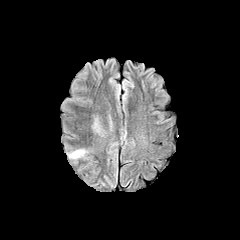
FLAIR MR image.
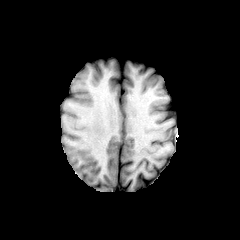
T1-weighted MRI.
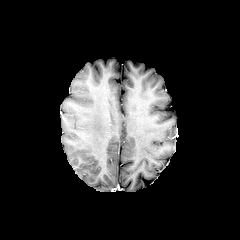
Post-contrast T1-weighted magnetic resonance.
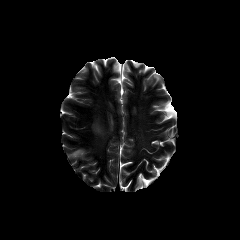
T2-weighted MR image of the same slice.
Brain.
The peritumoral edema is at region(69, 150, 84, 158).